FLAIR MRI.
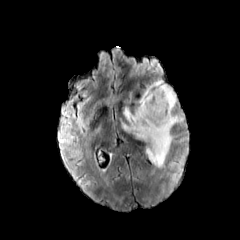
T1-weighted MRI.
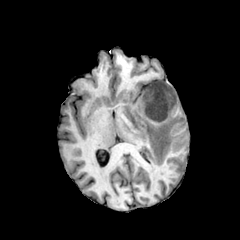
Post-contrast T1-weighted MR image.
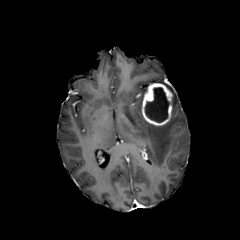
T2-weighted magnetic resonance.
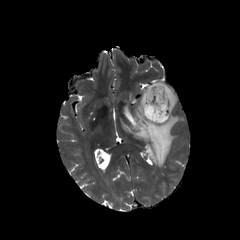
Axial plane
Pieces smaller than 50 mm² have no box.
necrotic tumor core: bounding box left=145, top=87, right=169, bottom=122
enhancing tumor: bounding box left=141, top=83, right=173, bottom=125
peritumoral edema: bounding box left=122, top=93, right=183, bottom=167; left=167, top=85, right=176, bottom=108